240x240 px; Image covers 240 mm x 240 mm
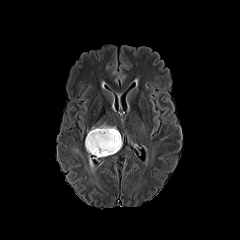
FLAIR MRI.
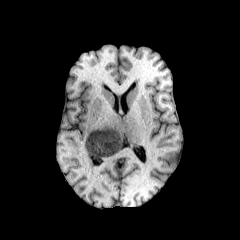
T1-weighted MR.
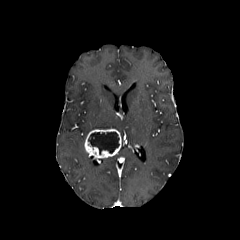
Post-contrast T1-weighted MR.
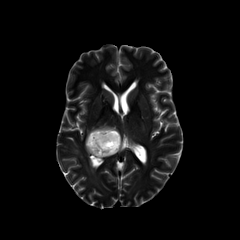
T2-weighted MR.
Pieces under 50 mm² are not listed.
peritumoral_edema:
  - {"x1": 90, "y1": 124, "x2": 118, "y2": 130}
necrotic_tumor_core:
  - {"x1": 88, "y1": 132, "x2": 119, "y2": 154}
enhancing_tumor:
  - {"x1": 84, "y1": 129, "x2": 121, "y2": 159}